240x240.
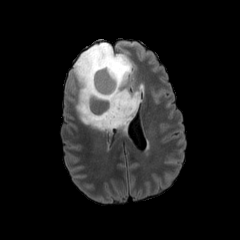
FLAIR MRI.
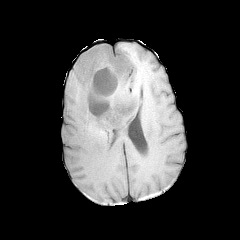
T1-weighted magnetic resonance.
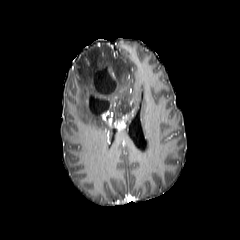
Same slice, post-contrast T1-weighted MR.
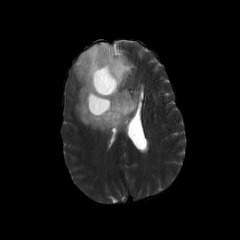
T2-weighted magnetic resonance of the same slice.
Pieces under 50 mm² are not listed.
The 2 largest enhancing tumor regions are bounded by [101, 109, 133, 128], [96, 61, 117, 83]. The largest peritumoral edema region is located at [73, 42, 140, 131]. 2 necrotic tumor core regions appear at [94, 67, 115, 93], [89, 95, 109, 115].